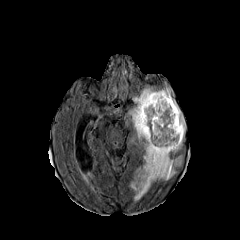
FLAIR MR image.
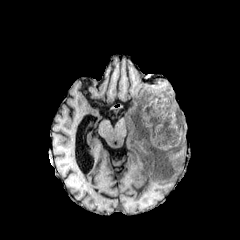
T1-weighted MRI.
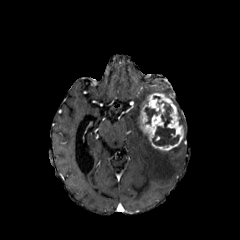
Post-contrast T1-weighted magnetic resonance of the same slice.
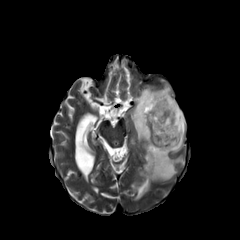
Same slice, T2-weighted MRI.
240x240 px
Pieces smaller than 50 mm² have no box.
<segmentation>
  <necrotic_tumor_core>bbox(144, 107, 160, 124); bbox(152, 101, 179, 145)</necrotic_tumor_core>
  <enhancing_tumor>bbox(138, 93, 183, 151)</enhancing_tumor>
  <peritumoral_edema>bbox(129, 82, 185, 202)</peritumoral_edema>
</segmentation>